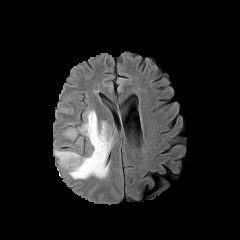
FLAIR MR image.
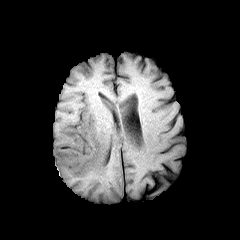
T1-weighted MR.
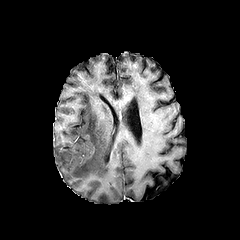
Post-contrast T1-weighted MR of the same slice.
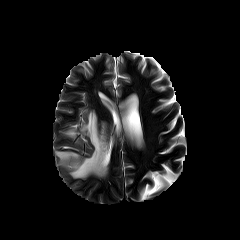
Same slice, T2-weighted MRI.
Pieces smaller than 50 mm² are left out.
peritumoral_edema:
  - rect(64, 128, 77, 138)
  - rect(55, 110, 113, 178)